FLAIR MRI.
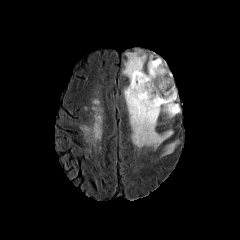
T1-weighted MRI.
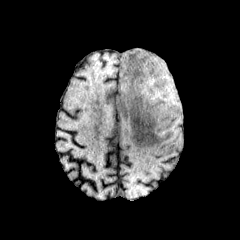
Post-contrast T1-weighted MR image.
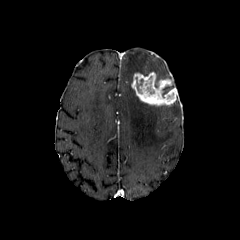
T2-weighted magnetic resonance.
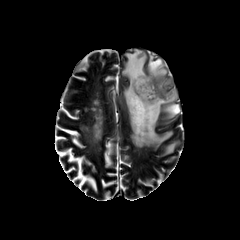
Head | Axial plane
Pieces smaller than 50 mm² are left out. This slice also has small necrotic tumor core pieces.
enhancing tumor at l=131, t=72, r=177, b=106
peritumoral edema at l=163, t=141, r=178, b=154; l=147, t=55, r=168, b=79; l=122, t=50, r=180, b=149